Axial view, 240x240 px, Slice index 79
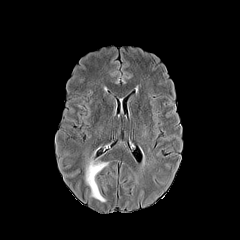
FLAIR magnetic resonance.
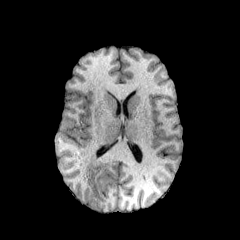
Same slice, T1-weighted MR.
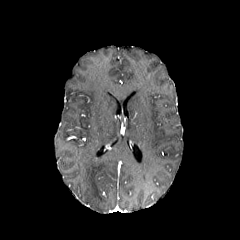
Post-contrast T1-weighted MRI of the same slice.
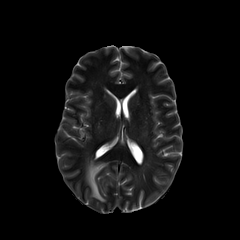
T2-weighted magnetic resonance of the same slice.
peritumoral edema — <box>85,157,108,202</box>